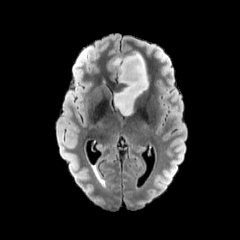
FLAIR magnetic resonance.
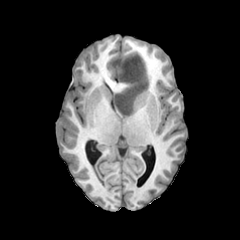
T1-weighted MR image.
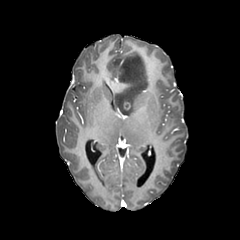
Post-contrast T1-weighted MR image of the same slice.
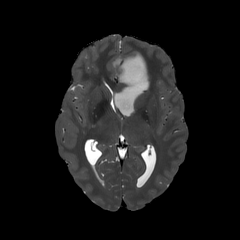
T2-weighted MR image.
240x240; Axial slice
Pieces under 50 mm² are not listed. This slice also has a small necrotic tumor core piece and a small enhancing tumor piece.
peritumoral edema: region(111, 52, 148, 116)